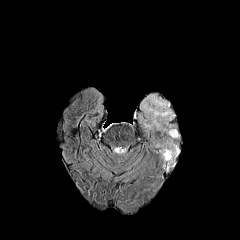
FLAIR MRI.
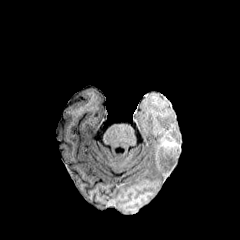
T1-weighted MR image of the same slice.
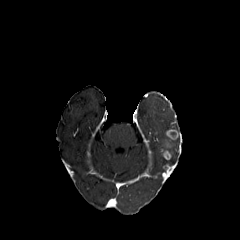
Post-contrast T1-weighted MR of the same slice.
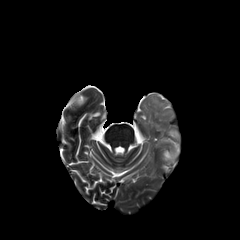
Same slice, T2-weighted MR image.
Brain | Axial slice
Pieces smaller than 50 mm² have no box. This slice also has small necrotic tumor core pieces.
{
  "peritumoral_edema": [
    "rect(162, 140, 178, 163)",
    "rect(147, 98, 173, 119)"
  ],
  "enhancing_tumor": [
    "rect(163, 164, 174, 171)",
    "rect(161, 150, 171, 159)",
    "rect(166, 129, 178, 139)"
  ]
}